Slice 111/155
FLAIR MR.
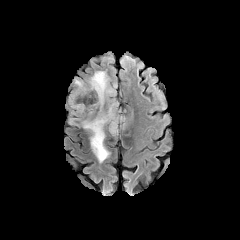
T1-weighted magnetic resonance.
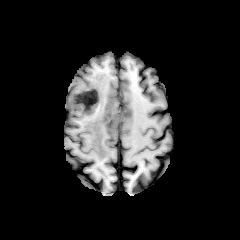
Post-contrast T1-weighted MRI.
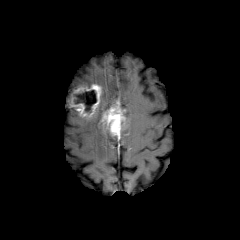
T2-weighted MR image.
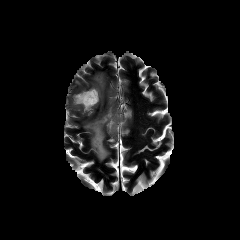
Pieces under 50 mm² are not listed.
enhancing_tumor:
  - <bbox>99, 100, 131, 137</bbox>
  - <bbox>70, 84, 101, 117</bbox>
peritumoral_edema:
  - <bbox>83, 117, 109, 162</bbox>
  - <bbox>90, 71, 113, 104</bbox>
necrotic_tumor_core:
  - <bbox>74, 90, 96, 112</bbox>